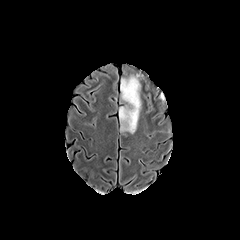
FLAIR MR.
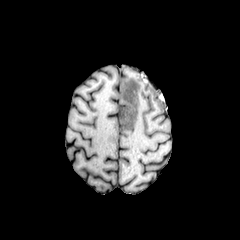
Same slice, T1-weighted MR.
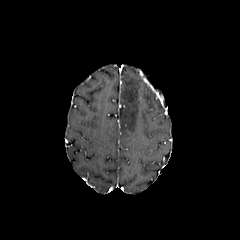
Post-contrast T1-weighted MRI.
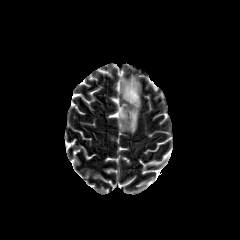
T2-weighted MR.
Axial slice
peritumoral edema: box(119, 71, 143, 136)